FLAIR MR.
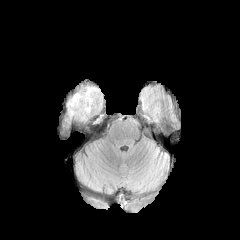
T1-weighted MRI.
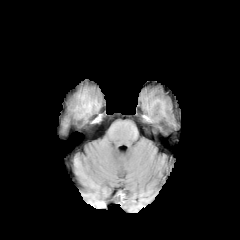
Post-contrast T1-weighted MRI.
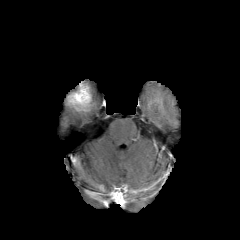
T2-weighted MR image.
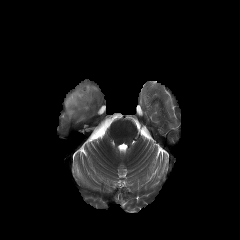
Brain | Axial slice
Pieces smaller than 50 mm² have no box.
Segmented structures:
• peritumoral edema: bbox(83, 87, 94, 111); bbox(67, 104, 75, 116)
• enhancing tumor: bbox(67, 84, 91, 110)